Slice 78 of 155
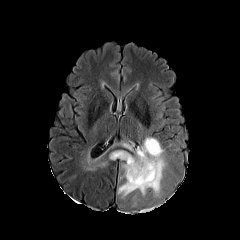
FLAIR MR.
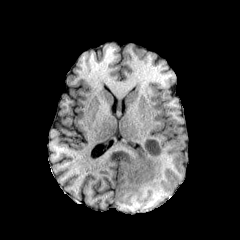
Same slice, T1-weighted MRI.
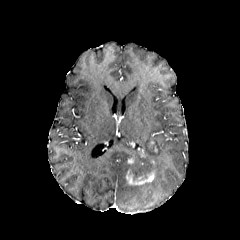
Same slice, post-contrast T1-weighted MR.
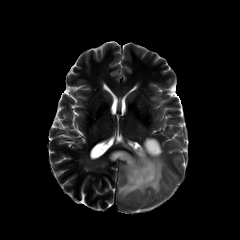
T2-weighted MRI.
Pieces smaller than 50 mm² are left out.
The largest peritumoral edema region appears at 109, 137, 166, 198. The largest necrotic tumor core region is at 130, 167, 153, 179. The largest enhancing tumor region is bounded by 126, 169, 154, 185.